FLAIR MR image.
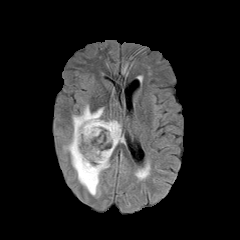
T1-weighted MR.
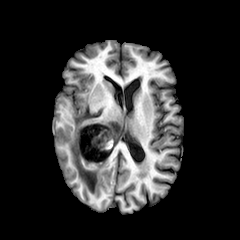
Post-contrast T1-weighted MR image.
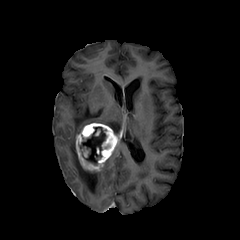
T2-weighted MRI.
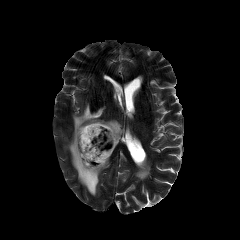
Brain.
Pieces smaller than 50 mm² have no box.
enhancing tumor: 75,123,120,171 | peritumoral edema: 64,104,121,196 | necrotic tumor core: 80,127,105,164